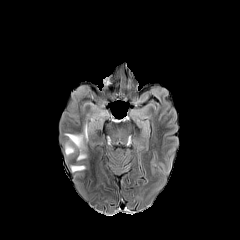
FLAIR magnetic resonance.
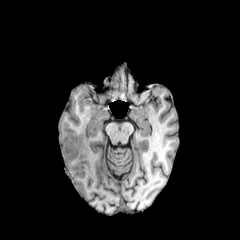
T1-weighted magnetic resonance.
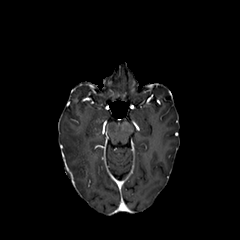
Post-contrast T1-weighted MR.
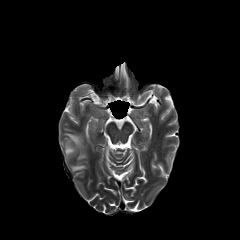
T2-weighted MRI.
Axial slice, 240x240 px
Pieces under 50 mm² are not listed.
Findings:
* peritumoral edema: <box>72,166,84,171</box>, <box>67,134,82,147</box>, <box>66,145,73,154</box>